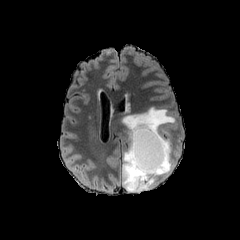
FLAIR MRI.
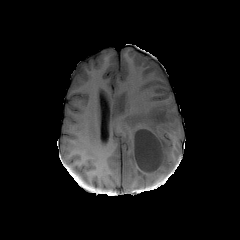
T1-weighted magnetic resonance of the same slice.
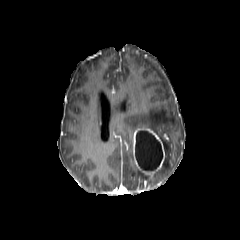
Post-contrast T1-weighted MR.
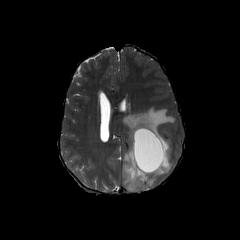
T2-weighted MRI.
Brain. Axial view.
The peritumoral edema lies within left=122, top=107, right=175, bottom=191. The necrotic tumor core lies within left=135, top=130, right=162, bottom=171. The enhancing tumor is at left=133, top=128, right=165, bottom=174.